FLAIR magnetic resonance.
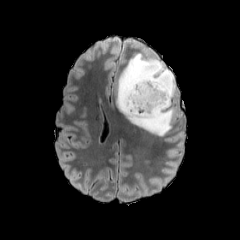
T1-weighted magnetic resonance.
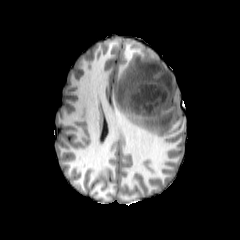
Post-contrast T1-weighted magnetic resonance.
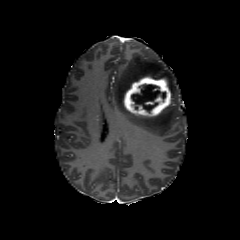
T2-weighted magnetic resonance.
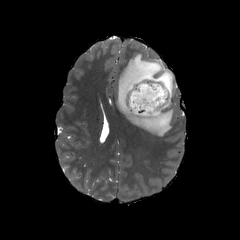
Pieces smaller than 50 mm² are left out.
• enhancing tumor: (x1=121, y1=75, x2=171, y2=117)
• peritumoral edema: (x1=115, y1=53, x2=177, y2=136)
• necrotic tumor core: (x1=131, y1=84, x2=165, y2=112)